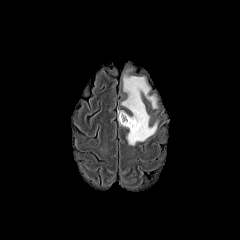
FLAIR MR.
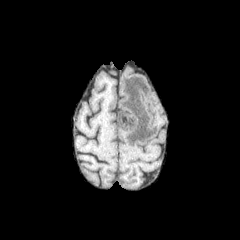
T1-weighted MR image.
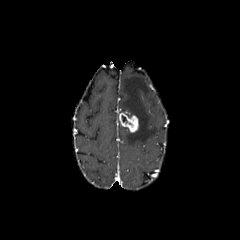
Post-contrast T1-weighted MR image of the same slice.
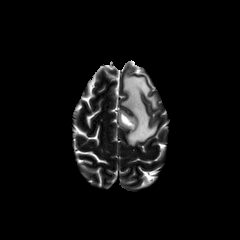
T2-weighted MR image of the same slice.
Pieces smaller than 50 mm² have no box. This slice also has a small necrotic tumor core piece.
enhancing tumor: (119,112,138,132) | peritumoral edema: (117,109,130,127), (121,75,160,145)